FLAIR magnetic resonance.
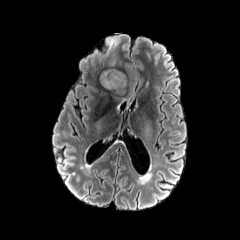
T1-weighted MR image.
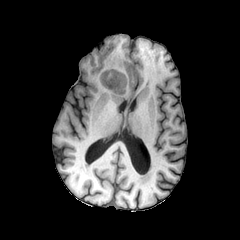
Post-contrast T1-weighted MR image.
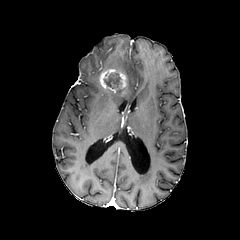
T2-weighted MRI.
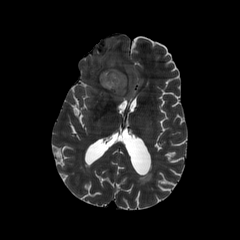
Head
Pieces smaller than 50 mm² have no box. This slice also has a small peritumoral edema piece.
enhancing tumor: (left=99, top=69, right=126, bottom=91) | necrotic tumor core: (left=104, top=73, right=119, bottom=88)